Axial slice, Slice index 108, Brain
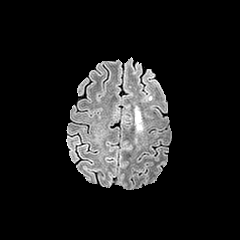
FLAIR magnetic resonance.
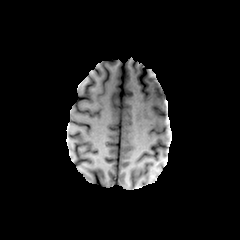
T1-weighted MR image of the same slice.
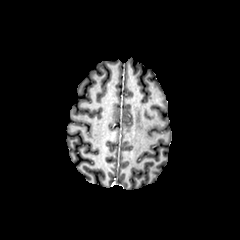
Same slice, post-contrast T1-weighted magnetic resonance.
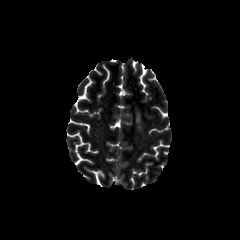
T2-weighted MR image of the same slice.
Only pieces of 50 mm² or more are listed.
peritumoral edema — (135, 107, 141, 129)